Brain | Axial plane
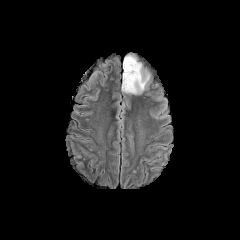
FLAIR MRI.
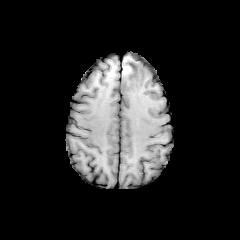
T1-weighted MR image.
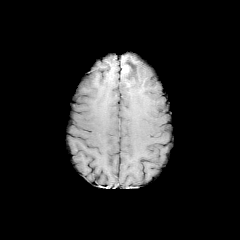
Post-contrast T1-weighted MRI.
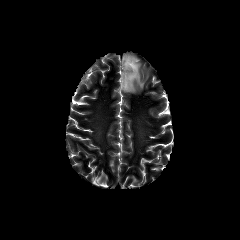
Same slice, T2-weighted magnetic resonance.
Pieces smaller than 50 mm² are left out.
The largest enhancing tumor region is bounded by 123 65 129 74. The largest peritumoral edema region is bounded by 121 54 149 94. The necrotic tumor core is at 123 57 135 88.